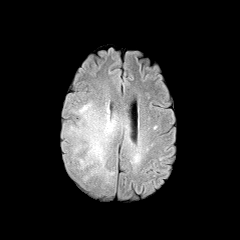
FLAIR MR image.
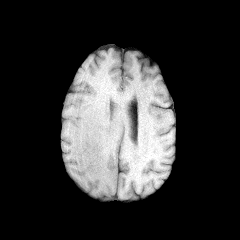
T1-weighted MR image of the same slice.
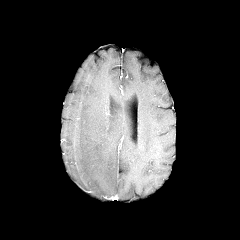
Post-contrast T1-weighted magnetic resonance.
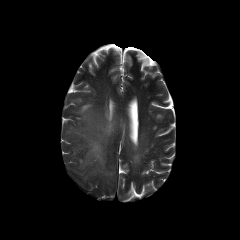
Same slice, T2-weighted MRI.
Axial slice. 240x240.
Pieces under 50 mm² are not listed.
peritumoral edema: <bbox>68, 102, 127, 182</bbox>